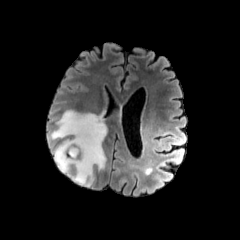
FLAIR MR.
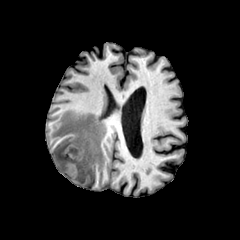
T1-weighted MR of the same slice.
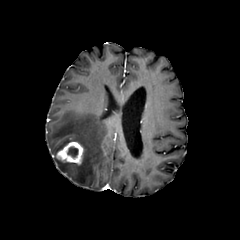
Post-contrast T1-weighted MRI.
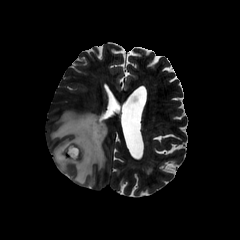
Same slice, T2-weighted MRI.
Axial slice
necrotic_tumor_core:
  - x1=67 y1=147 x2=77 y2=157
enhancing_tumor:
  - x1=56 y1=142 x2=83 y2=164
peritumoral_edema:
  - x1=50 y1=110 x2=107 y2=185